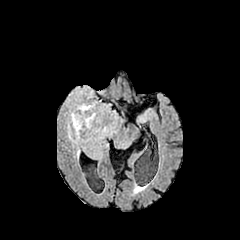
FLAIR MRI.
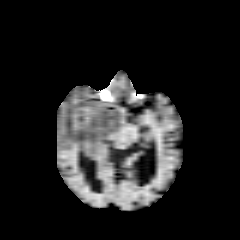
T1-weighted MRI.
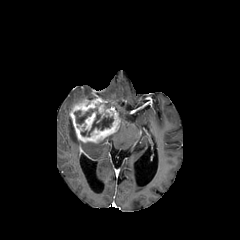
Post-contrast T1-weighted MRI of the same slice.
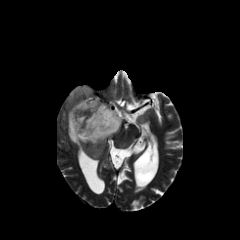
T2-weighted MR image.
Head. Image size 240x240.
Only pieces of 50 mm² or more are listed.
The necrotic tumor core is at x1=74 y1=108 x2=113 y2=136. The enhancing tumor is located at x1=69 y1=95 x2=120 y2=143. The 2 largest peritumoral edema regions appear at x1=67 y1=117 x2=82 y2=144, x1=70 y1=87 x2=89 y2=96.